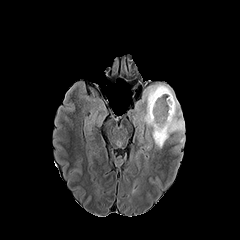
FLAIR MR image.
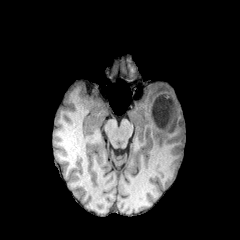
T1-weighted MRI.
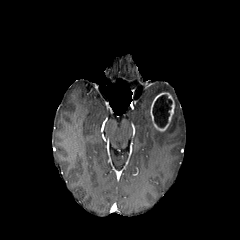
Post-contrast T1-weighted MR image.
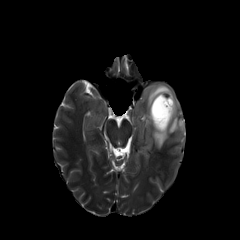
T2-weighted MRI.
Brain; 240x240
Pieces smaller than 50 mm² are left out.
enhancing tumor: 150,92,174,131
necrotic tumor core: 152,95,172,127
peritumoral edema: 142,83,185,148